FLAIR MR.
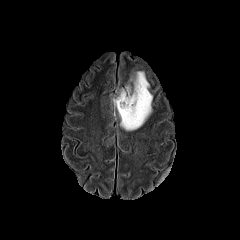
T1-weighted magnetic resonance.
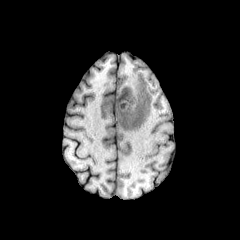
Post-contrast T1-weighted MRI.
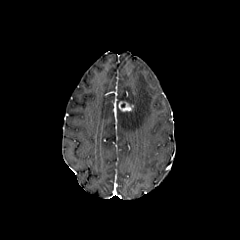
T2-weighted magnetic resonance.
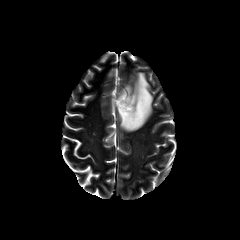
240x240
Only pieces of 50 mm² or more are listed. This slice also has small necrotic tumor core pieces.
<segmentation>
  <peritumoral_edema>117:71:152:130</peritumoral_edema>
  <enhancing_tumor>118:101:133:111</enhancing_tumor>
</segmentation>